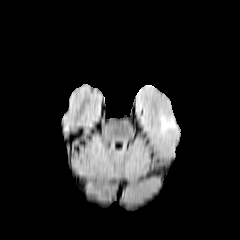
FLAIR MRI.
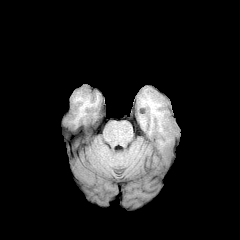
Same slice, T1-weighted magnetic resonance.
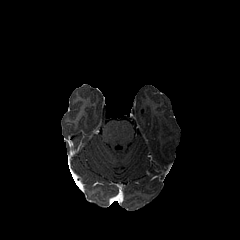
Post-contrast T1-weighted MR image.
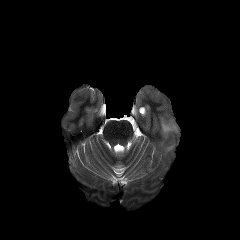
Same slice, T2-weighted MRI.
Head
<segmentation>
  <peritumoral_edema>[160,116,176,135]</peritumoral_edema>
</segmentation>